FLAIR magnetic resonance.
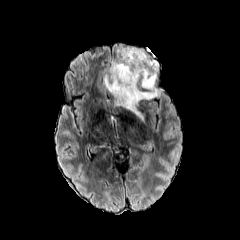
T1-weighted MR image.
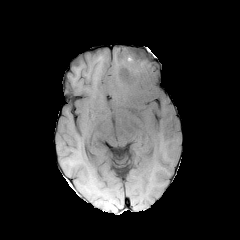
Post-contrast T1-weighted magnetic resonance.
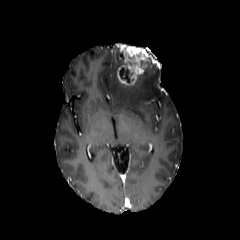
T2-weighted MR.
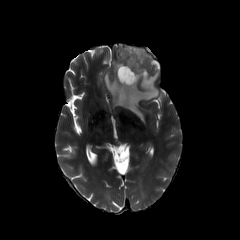
240x240.
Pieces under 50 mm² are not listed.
enhancing tumor = box=[117, 45, 156, 86]
peritumoral edema = box=[104, 48, 159, 120]
necrotic tumor core = box=[119, 67, 129, 82]